Image width 240 mm
FLAIR magnetic resonance.
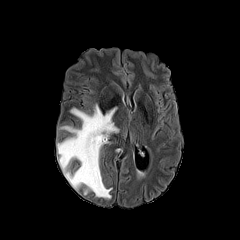
T1-weighted MRI.
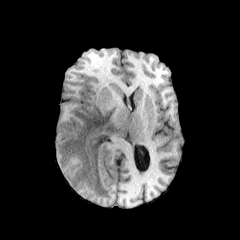
Post-contrast T1-weighted magnetic resonance.
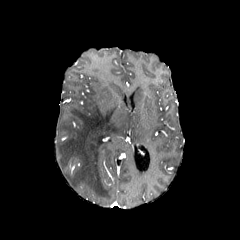
T2-weighted MRI.
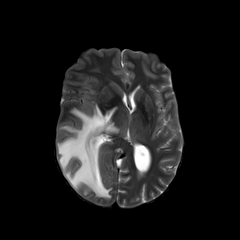
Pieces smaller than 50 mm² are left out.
The largest peritumoral edema region is at rect(57, 104, 118, 198).